Slice 107/155; Brain; Image size 240x240
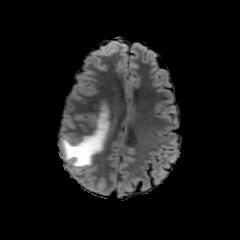
FLAIR MR image.
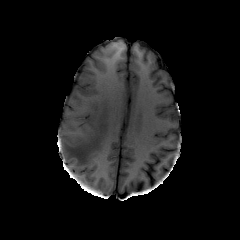
T1-weighted MR.
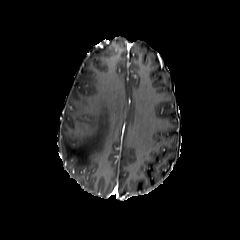
Same slice, post-contrast T1-weighted MR image.
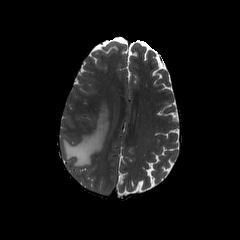
T2-weighted MRI.
peritumoral edema — box=[62, 105, 109, 167]